Slice 112 of 155.
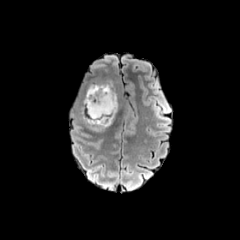
FLAIR MR image.
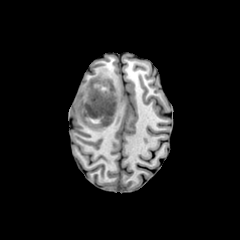
Same slice, T1-weighted MR.
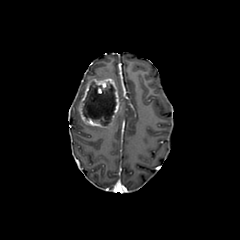
Post-contrast T1-weighted MR image.
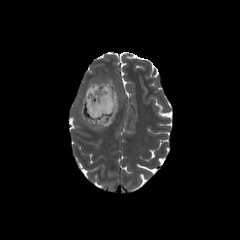
T2-weighted magnetic resonance of the same slice.
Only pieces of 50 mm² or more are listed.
necrotic tumor core at bbox(83, 82, 116, 125)
enhancing tumor at bbox(78, 78, 119, 127)
peritumoral edema at bbox(90, 126, 106, 132)